FLAIR MR.
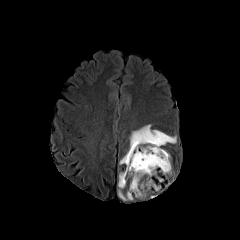
T1-weighted MR image.
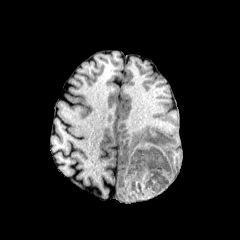
Post-contrast T1-weighted MRI.
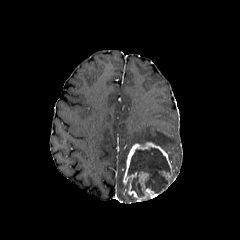
T2-weighted MR image.
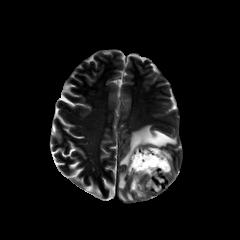
240x240 px, Brain, Axial slice
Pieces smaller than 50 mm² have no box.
peritumoral edema — 119,124,176,164; 118,172,133,200
enhancing tumor — 123,142,173,200
necrotic tumor core — 128,148,169,192; 131,176,143,196